Brain | Image width 240 mm, 1.00 mm slice spacing
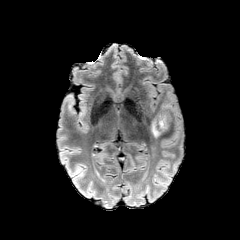
FLAIR MRI.
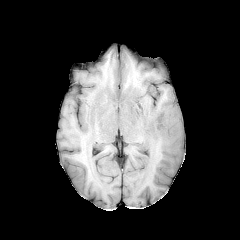
Same slice, T1-weighted MR.
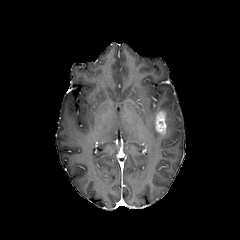
Post-contrast T1-weighted MRI.
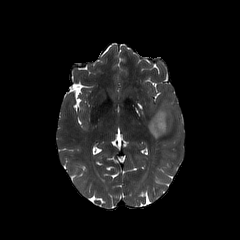
T2-weighted MR image.
Segmented structures:
- enhancing tumor: x1=155 y1=110 x2=166 y2=134
- peritumoral edema: x1=159 y1=103 x2=172 y2=128, x1=150 y1=114 x2=160 y2=137